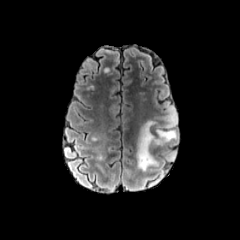
FLAIR MR.
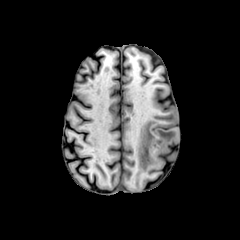
T1-weighted magnetic resonance.
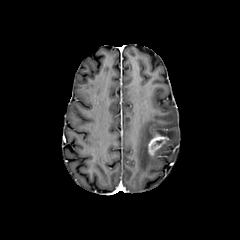
Post-contrast T1-weighted magnetic resonance.
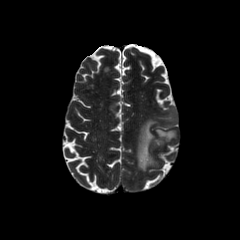
T2-weighted magnetic resonance of the same slice.
Image size 240x240. Axial plane.
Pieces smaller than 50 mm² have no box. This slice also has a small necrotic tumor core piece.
The 2 largest peritumoral edema regions are bounded by bbox=[136, 120, 157, 170]; bbox=[155, 106, 177, 149]. The enhancing tumor is at bbox=[147, 135, 168, 155].